240x240. Axial plane.
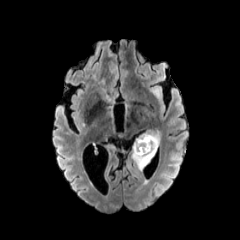
FLAIR MRI.
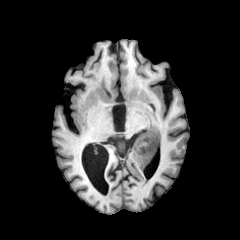
T1-weighted MRI.
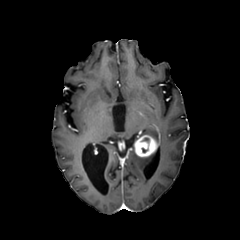
Same slice, post-contrast T1-weighted MRI.
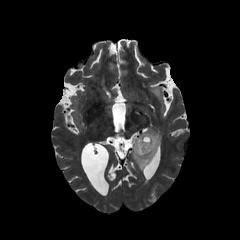
T2-weighted magnetic resonance.
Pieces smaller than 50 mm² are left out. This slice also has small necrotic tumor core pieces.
enhancing_tumor:
  - rect(134, 134, 158, 157)
peritumoral_edema:
  - rect(131, 144, 155, 169)
  - rect(139, 130, 161, 144)